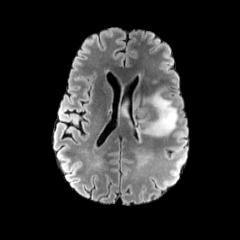
FLAIR magnetic resonance.
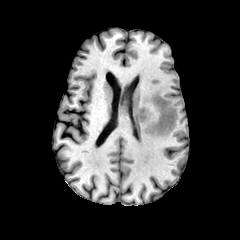
T1-weighted MRI of the same slice.
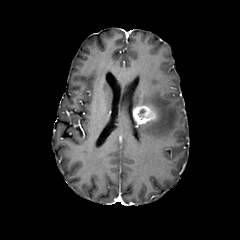
Post-contrast T1-weighted MRI.
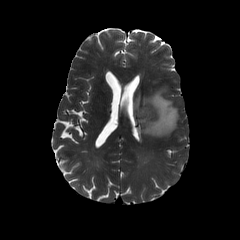
T2-weighted MRI.
Brain; Axial slice
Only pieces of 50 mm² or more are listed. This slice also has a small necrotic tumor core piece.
peritumoral edema: 133 87 178 137, 121 98 131 123
enhancing tumor: 132 106 156 125